Head.
FLAIR MR.
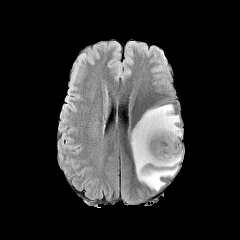
T1-weighted MRI.
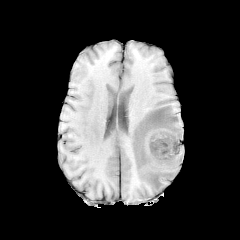
Post-contrast T1-weighted MR.
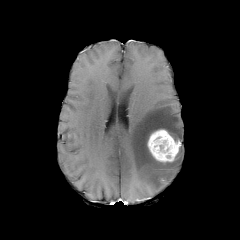
T2-weighted MRI.
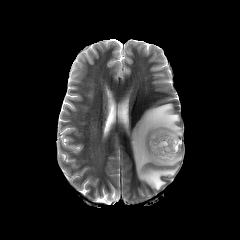
Findings:
* peritumoral edema: [131,104,182,190]
* enhancing tumor: [147,129,181,162]